Brain; Slice 76/155; Axial view
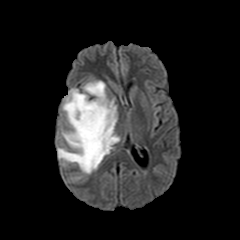
FLAIR MR.
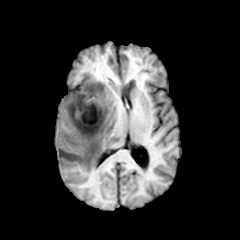
T1-weighted MRI.
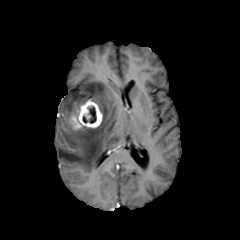
Same slice, post-contrast T1-weighted MRI.
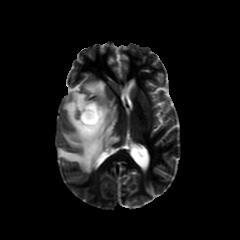
T2-weighted MR image of the same slice.
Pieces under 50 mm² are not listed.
enhancing tumor: [x1=69, y1=100, x2=102, y2=129]
peritumoral edema: [x1=57, y1=80, x2=119, y2=173]
necrotic tumor core: [x1=83, y1=107, x2=96, y2=123]